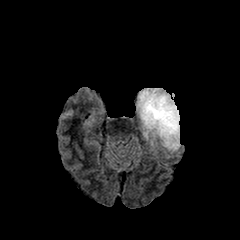
FLAIR MR image.
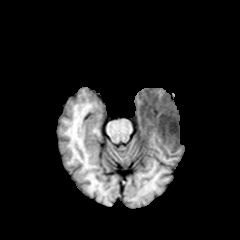
T1-weighted MR image.
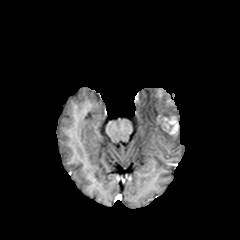
Post-contrast T1-weighted MRI.
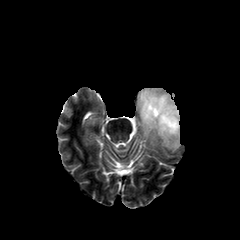
T2-weighted MRI.
Brain
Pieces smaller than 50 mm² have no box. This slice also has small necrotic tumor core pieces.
enhancing tumor: [157,115,178,134] | peritumoral edema: [136,88,180,150]